Brain | Image size 240x240 | Slice 62 of 155
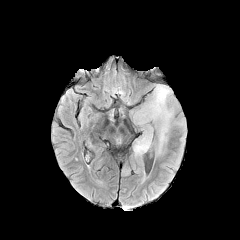
FLAIR MRI.
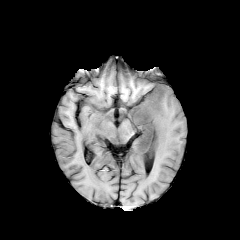
T1-weighted MR image of the same slice.
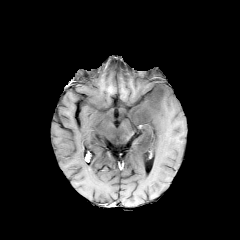
Post-contrast T1-weighted MR.
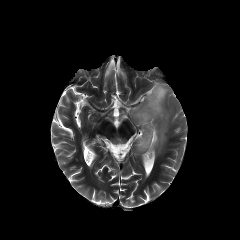
Same slice, T2-weighted MR.
peritumoral edema — region(128, 84, 180, 154)